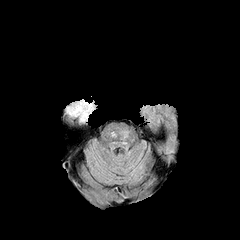
FLAIR MR image.
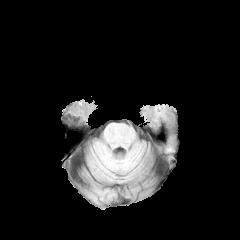
T1-weighted MR image.
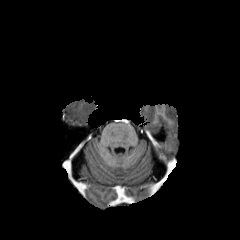
Post-contrast T1-weighted magnetic resonance.
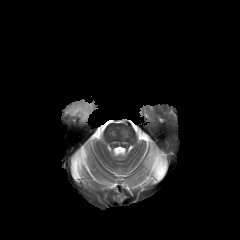
T2-weighted magnetic resonance of the same slice.
Axial view
The peritumoral edema lies within (left=66, top=99, right=93, bottom=122).